Image width 240 mm. Brain. 240x240 px.
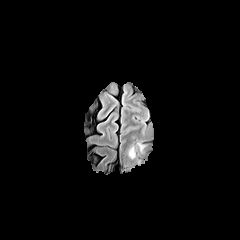
FLAIR MR.
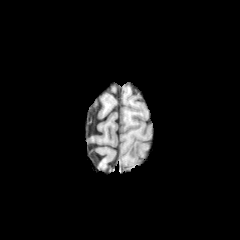
T1-weighted magnetic resonance.
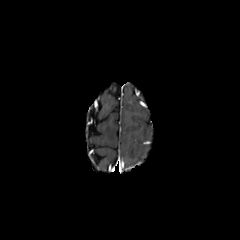
Same slice, post-contrast T1-weighted magnetic resonance.
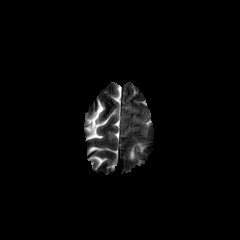
Same slice, T2-weighted magnetic resonance.
Findings:
• peritumoral edema: 128 146 135 159, 137 143 147 153